FLAIR magnetic resonance.
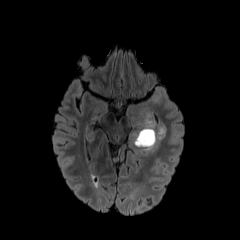
T1-weighted MRI.
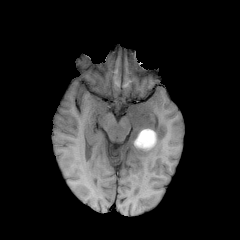
Post-contrast T1-weighted MR.
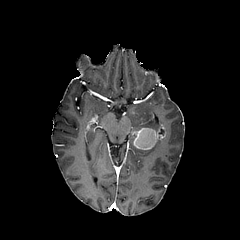
T2-weighted MR image.
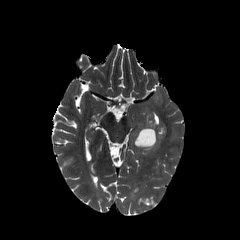
240x240; Head
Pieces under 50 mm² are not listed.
peritumoral edema at [x1=145, y1=140, x2=160, y2=152], [x1=139, y1=114, x2=155, y2=129]
enhancing tumor at [x1=132, y1=125, x2=165, y2=150]
necrotic tumor core at [x1=136, y1=129, x2=154, y2=147]